FLAIR MR.
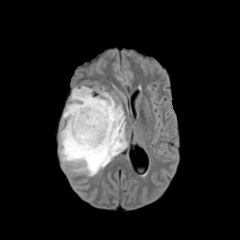
T1-weighted MR image.
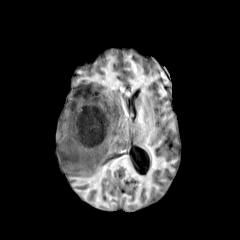
Post-contrast T1-weighted MR.
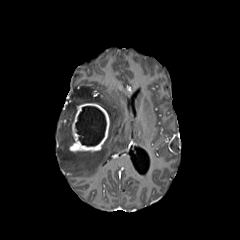
T2-weighted MR.
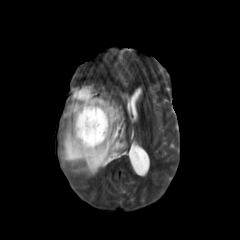
Head, Axial slice
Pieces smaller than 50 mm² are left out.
The largest necrotic tumor core region is at region(75, 106, 106, 146). The enhancing tumor is at region(69, 103, 109, 152). The peritumoral edema is bounded by region(59, 86, 127, 176).